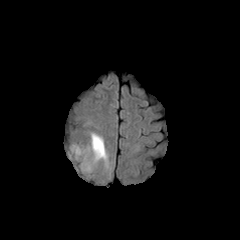
FLAIR MR.
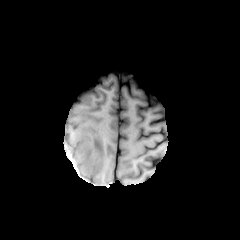
T1-weighted MR of the same slice.
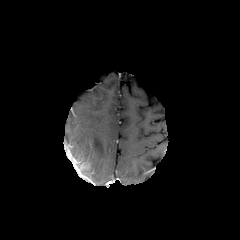
Post-contrast T1-weighted MRI of the same slice.
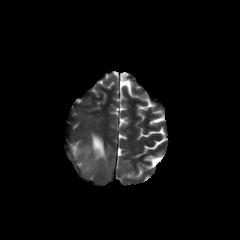
Same slice, T2-weighted MRI.
Axial view
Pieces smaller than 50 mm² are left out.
{"enhancing_tumor": ["[68, 150, 92, 179]"], "peritumoral_edema": ["[68, 132, 108, 173]"]}